Slice index 51; Axial slice
FLAIR MRI.
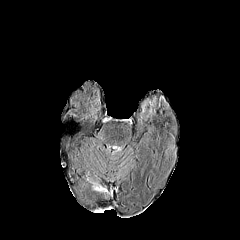
T1-weighted MR.
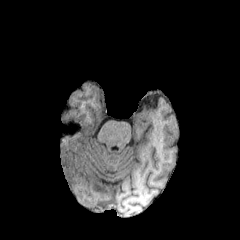
Post-contrast T1-weighted MR image.
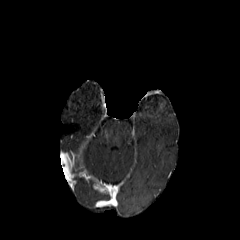
T2-weighted MRI.
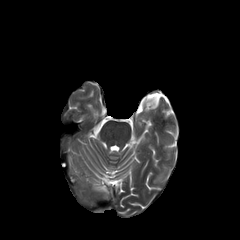
The enhancing tumor is at (left=93, top=181, right=111, bottom=194).